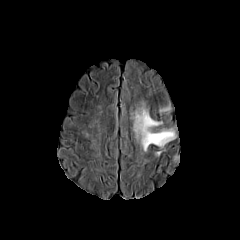
FLAIR MR.
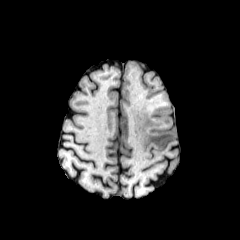
T1-weighted magnetic resonance.
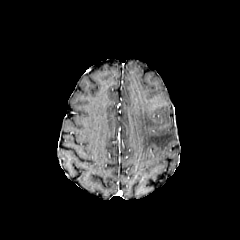
Post-contrast T1-weighted MR image.
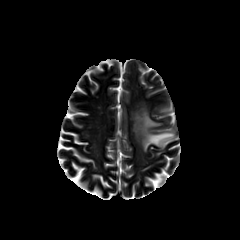
T2-weighted MRI.
Axial view
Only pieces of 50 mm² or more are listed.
peritumoral edema: bounding box (160,107,171,113), (133,104,175,151)